FLAIR MR image.
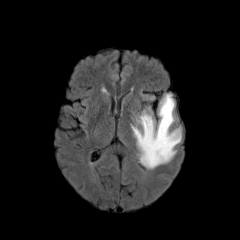
T1-weighted magnetic resonance.
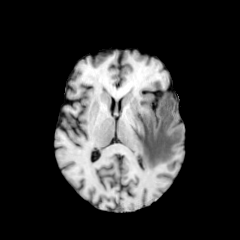
Post-contrast T1-weighted MR image.
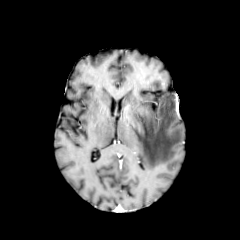
T2-weighted magnetic resonance.
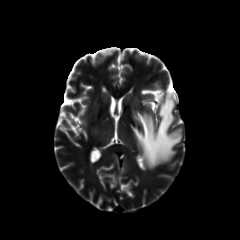
Head | Axial view
peritumoral_edema:
  - x1=133 y1=94 x2=182 y2=167